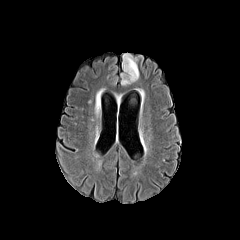
FLAIR MR.
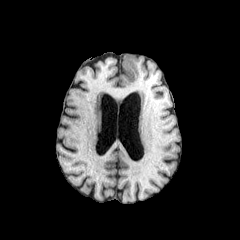
T1-weighted MR image of the same slice.
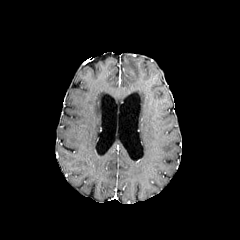
Post-contrast T1-weighted magnetic resonance.
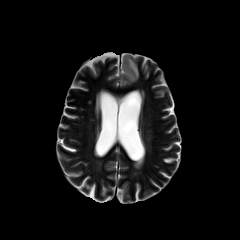
Same slice, T2-weighted magnetic resonance.
Head | Axial plane
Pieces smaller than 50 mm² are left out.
Segmented structures:
* peritumoral edema: x1=121 y1=53 x2=139 y2=85